Slice 73/155. Axial slice. Brain.
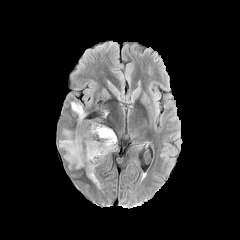
FLAIR magnetic resonance.
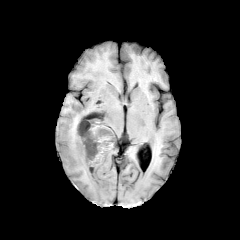
T1-weighted MR image.
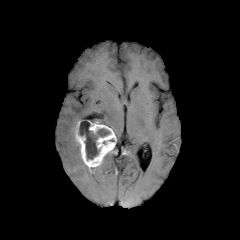
Same slice, post-contrast T1-weighted MR image.
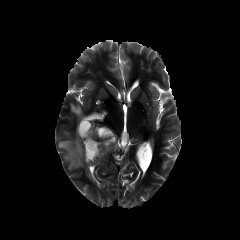
T2-weighted MR.
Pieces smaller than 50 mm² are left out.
Segmented structures:
• peritumoral edema: (59, 129, 100, 187), (71, 102, 85, 121)
• necrotic tumor core: (79, 121, 109, 159)
• enhancing tumor: (75, 119, 116, 173)